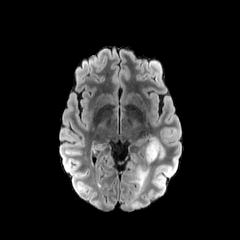
FLAIR magnetic resonance.
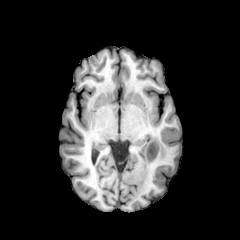
T1-weighted magnetic resonance of the same slice.
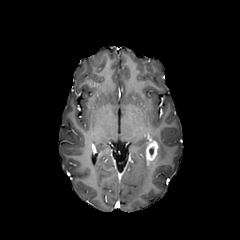
Post-contrast T1-weighted MRI.
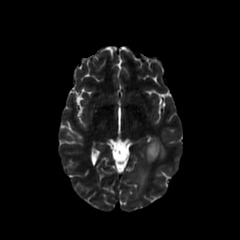
T2-weighted magnetic resonance of the same slice.
240x240 px | Axial slice | Head
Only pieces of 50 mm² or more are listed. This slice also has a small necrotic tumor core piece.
peritumoral_edema:
  - (152, 137, 165, 158)
  - (126, 160, 151, 197)
enhancing_tumor:
  - (146, 140, 158, 162)